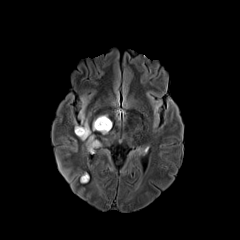
FLAIR magnetic resonance.
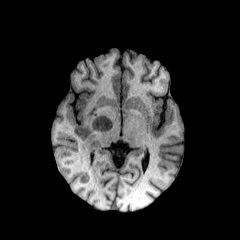
T1-weighted MR.
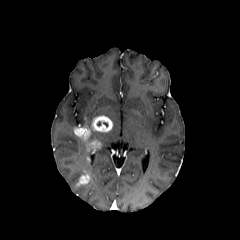
Same slice, post-contrast T1-weighted MR image.
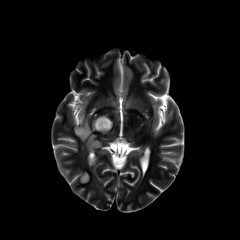
T2-weighted MR image of the same slice.
Axial view
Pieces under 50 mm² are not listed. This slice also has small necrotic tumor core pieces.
Annotated regions:
* enhancing tumor: (left=92, top=115, right=112, bottom=133), (left=74, top=125, right=101, bottom=152), (left=80, top=174, right=89, bottom=183)
* peritumoral edema: (left=79, top=112, right=88, bottom=126)